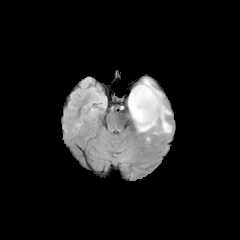
FLAIR MRI.
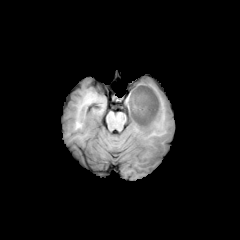
T1-weighted MR image of the same slice.
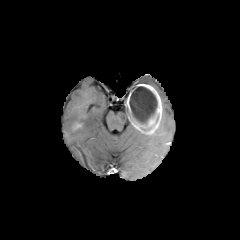
Post-contrast T1-weighted MRI.
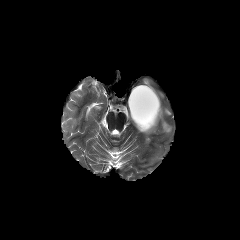
T2-weighted MRI.
Brain; Axial view
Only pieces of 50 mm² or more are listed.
The enhancing tumor is located at 127 84 162 134. The necrotic tumor core is located at 129 86 157 124. The 2 largest peritumoral edema regions are bounded by 155 89 171 133, 142 78 152 86.